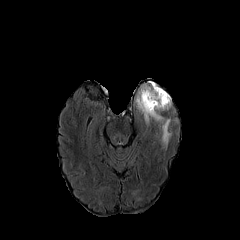
FLAIR MR image.
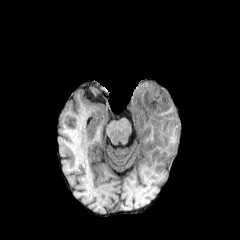
Same slice, T1-weighted magnetic resonance.
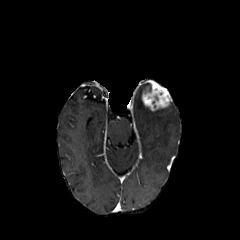
Post-contrast T1-weighted MR image.
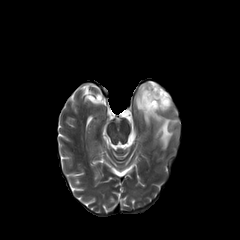
T2-weighted MR.
Axial view
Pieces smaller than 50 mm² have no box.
peritumoral edema: [135, 83, 172, 148] | enhancing tumor: [142, 80, 171, 111]